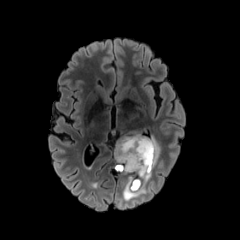
FLAIR MR image.
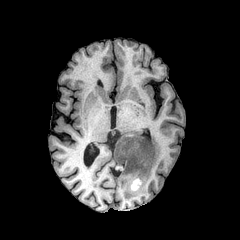
Same slice, T1-weighted MR image.
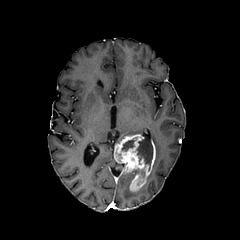
Post-contrast T1-weighted MR.
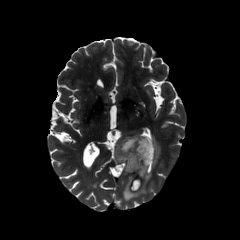
T2-weighted MRI.
Axial plane.
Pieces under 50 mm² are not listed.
enhancing tumor: bounding box [x1=114, y1=134, x2=155, y2=191]
necrotic tumor core: bounding box [x1=122, y1=140, x2=133, y2=150], [x1=137, y1=136, x2=153, y2=165]
peritumoral edema: bounding box [x1=151, y1=136, x2=160, y2=167], [x1=123, y1=175, x2=147, y2=200]